Axial slice. 240x240 px.
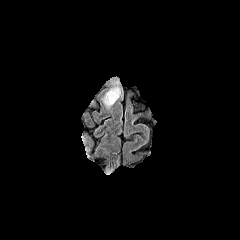
FLAIR magnetic resonance.
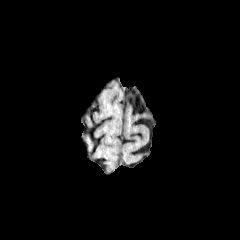
Same slice, T1-weighted MRI.
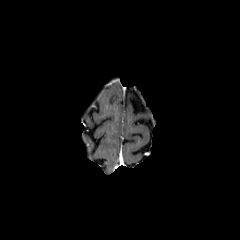
Post-contrast T1-weighted MR image.
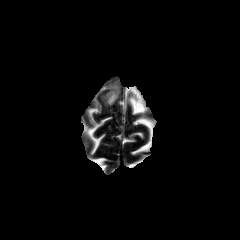
Same slice, T2-weighted magnetic resonance.
peritumoral edema — x1=104, y1=83, x2=120, y2=107